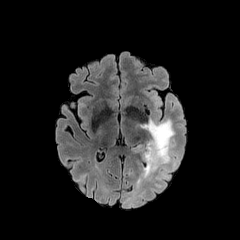
FLAIR MR image.
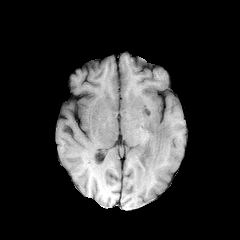
T1-weighted MR image.
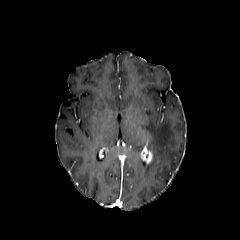
Post-contrast T1-weighted MR.
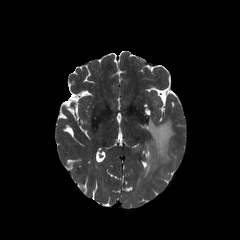
Same slice, T2-weighted MR image.
Axial view | Head
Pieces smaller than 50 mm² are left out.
The largest peritumoral edema region lies within region(134, 118, 178, 191). The enhancing tumor is located at region(141, 143, 153, 163).